FLAIR MR image.
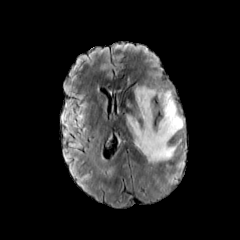
T1-weighted MR image.
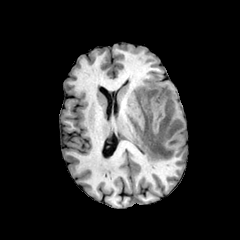
Post-contrast T1-weighted magnetic resonance.
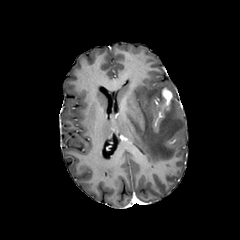
T2-weighted MR image.
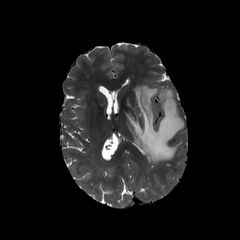
Axial plane. Head.
The enhancing tumor lies within [x1=162, y1=88, x2=172, y2=109]. The peritumoral edema is bounded by [x1=126, y1=85, x2=183, y2=163].